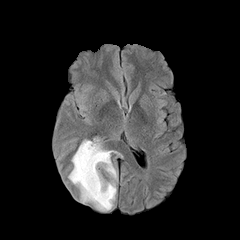
FLAIR MR.
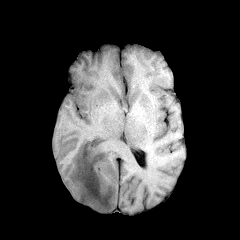
Same slice, T1-weighted MR.
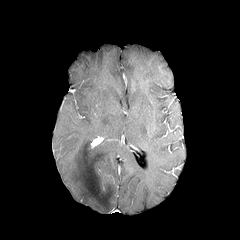
Same slice, post-contrast T1-weighted MR image.
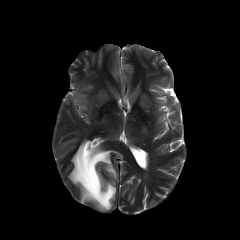
T2-weighted MR.
Head
peritumoral edema: (68, 140, 117, 211)